FLAIR MRI.
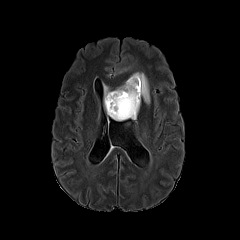
T1-weighted MR image.
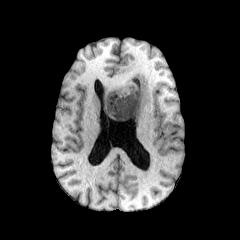
Post-contrast T1-weighted MR.
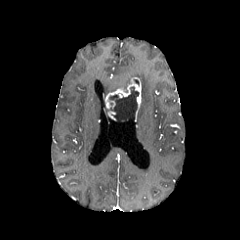
T2-weighted magnetic resonance.
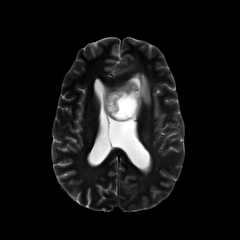
Image size 240x240; Head
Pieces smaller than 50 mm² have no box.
necrotic tumor core: 107,87,138,121
peritumoral edema: 121,72,150,104; 103,84,112,111
enhancing tumor: 105,77,141,122; 107,111,115,120